Slice index 73, Brain, Image width 240 mm, 1.00 mm slice spacing, Axial slice
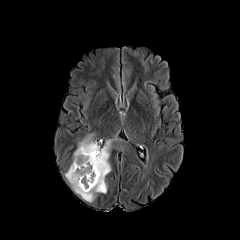
FLAIR magnetic resonance.
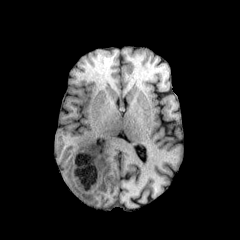
Same slice, T1-weighted MR image.
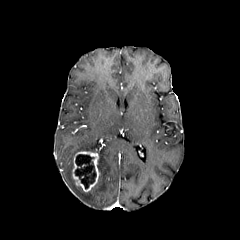
Same slice, post-contrast T1-weighted MR.
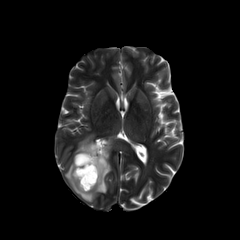
T2-weighted MR.
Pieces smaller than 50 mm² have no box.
peritumoral edema: x1=65 y1=134 x2=113 y2=202 | necrotic tumor core: x1=74 y1=154 x2=96 y2=188 | enhancing tumor: x1=72 y1=151 x2=99 y2=191